Slice index 115, Brain, 240x240 px, Image width 240 mm, Axial view
FLAIR MR.
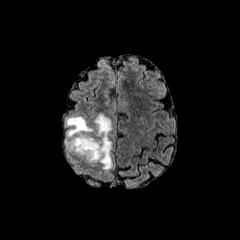
T1-weighted MRI.
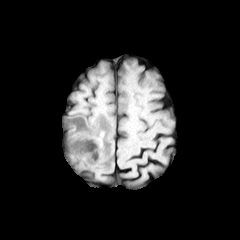
Post-contrast T1-weighted MRI.
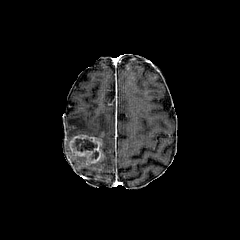
T2-weighted MR.
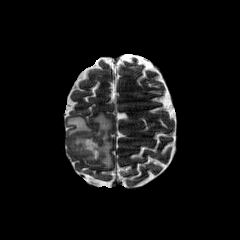
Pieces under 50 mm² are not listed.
2 necrotic tumor core regions are bounded by [73,138,97,151], [90,151,98,159]. The enhancing tumor appears at [69,134,104,163]. The 2 largest peritumoral edema regions appear at [66,116,93,150], [94,113,112,169].